Image width 240 mm, 1.00 mm slice spacing, Slice 109/155, Brain, Axial plane
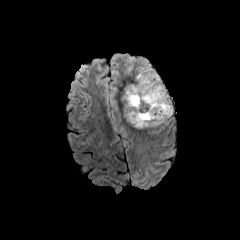
FLAIR MR image.
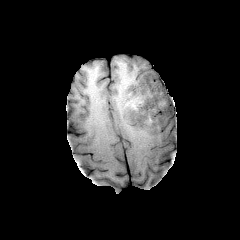
T1-weighted MR image.
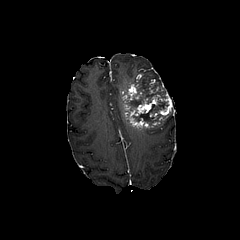
Post-contrast T1-weighted MR.
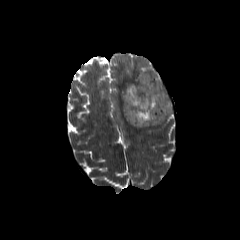
Same slice, T2-weighted MRI.
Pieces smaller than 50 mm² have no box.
The largest peritumoral edema region is bounded by <bbox>135, 66, 157, 77</bbox>. The largest enhancing tumor region is located at <bbox>119, 74, 174, 130</bbox>. The 2 largest necrotic tumor core regions are bounded by <bbox>127, 75, 166, 110</bbox>, <bbox>133, 100, 168, 125</bbox>.